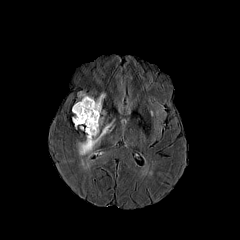
FLAIR MR.
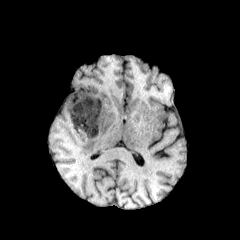
Same slice, T1-weighted MR image.
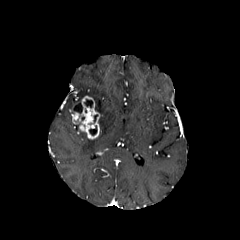
Post-contrast T1-weighted magnetic resonance.
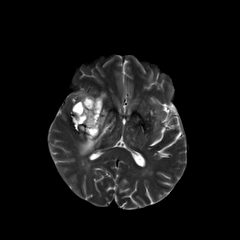
Same slice, T2-weighted MR image.
240x240 px. Brain.
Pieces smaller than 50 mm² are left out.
peritumoral edema — (95, 92, 105, 114), (78, 122, 112, 155)
necrotic tumor core — (84, 99, 92, 107), (73, 103, 82, 113), (89, 126, 97, 135)
enhancing tumor — (72, 96, 99, 139)